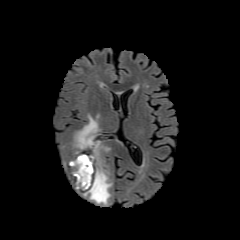
FLAIR MR image.
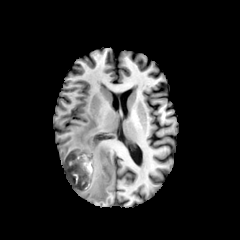
T1-weighted magnetic resonance.
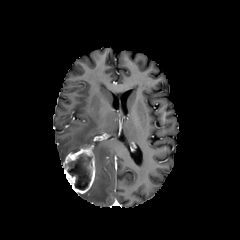
Post-contrast T1-weighted MR image.
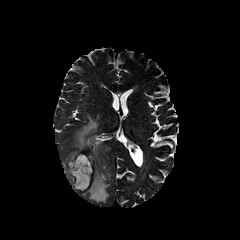
T2-weighted magnetic resonance.
240x240 px, Axial slice
Annotated regions:
• enhancing tumor: x1=63, y1=143, x2=95, y2=193
• necrotic tumor core: x1=67, y1=154, x2=92, y2=190
• peritumoral edema: x1=72, y1=114, x2=111, y2=204